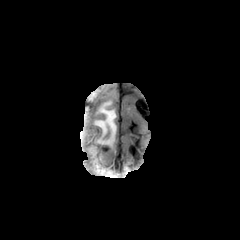
FLAIR MR image.
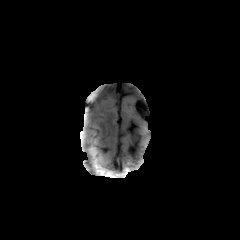
T1-weighted MRI.
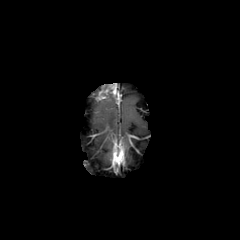
Same slice, post-contrast T1-weighted MRI.
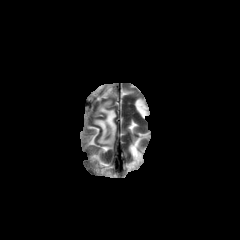
Same slice, T2-weighted MR.
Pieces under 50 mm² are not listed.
The enhancing tumor is located at (96,83,118,100). The 2 largest peritumoral edema regions are located at (93,96,116,150), (89,86,101,100).